Brain
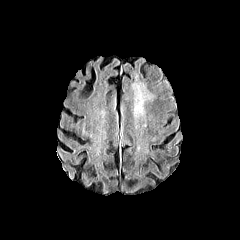
FLAIR magnetic resonance.
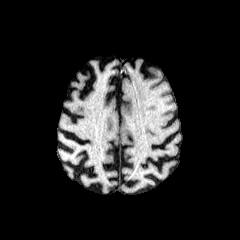
T1-weighted magnetic resonance.
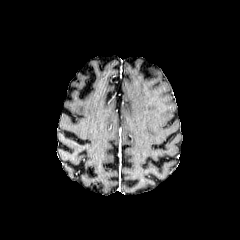
Same slice, post-contrast T1-weighted MRI.
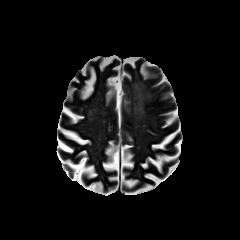
T2-weighted magnetic resonance.
The peritumoral edema appears at <bbox>134, 85, 149, 114</bbox>.